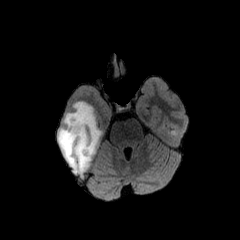
FLAIR magnetic resonance.
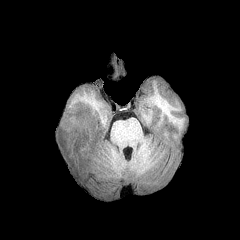
Same slice, T1-weighted magnetic resonance.
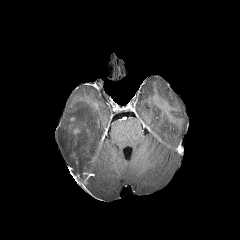
Post-contrast T1-weighted MR.
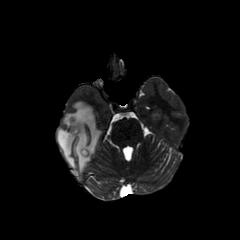
T2-weighted MRI.
Head.
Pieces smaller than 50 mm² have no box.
Segmented structures:
• enhancing tumor: (80, 148, 89, 156), (72, 126, 80, 134)
• peritumoral edema: (57, 101, 101, 173)